FLAIR MR image.
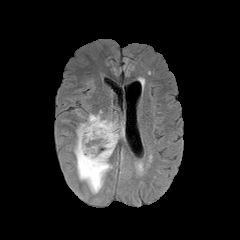
T1-weighted MRI.
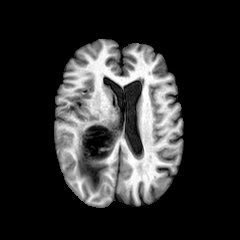
Post-contrast T1-weighted MR image.
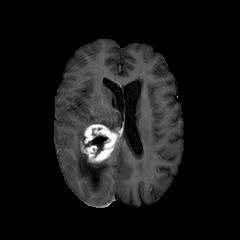
T2-weighted magnetic resonance.
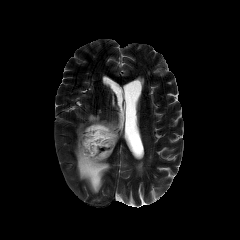
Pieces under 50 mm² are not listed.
peritumoral edema: (74,110,120,193)
enhancing tumor: (80,124,119,163)
necrotic tumor core: (85,136,107,153)